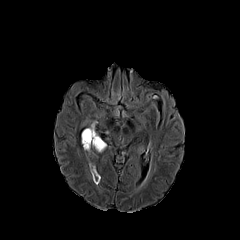
FLAIR MR.
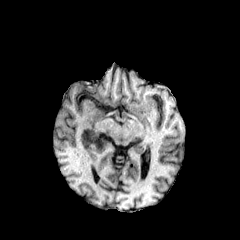
Same slice, T1-weighted MR.
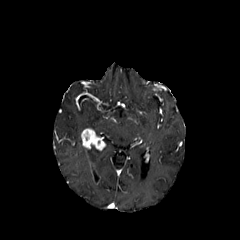
Same slice, post-contrast T1-weighted MR image.
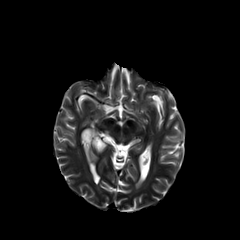
T2-weighted MR.
Head
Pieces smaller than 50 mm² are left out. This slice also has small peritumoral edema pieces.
enhancing tumor at (left=81, top=128, right=105, bottom=150), (left=90, top=163, right=100, bottom=184)